FLAIR MRI.
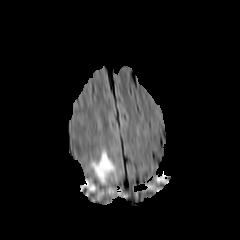
T1-weighted magnetic resonance.
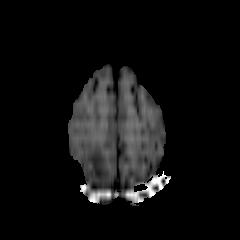
Post-contrast T1-weighted MR.
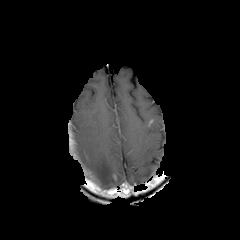
T2-weighted MRI.
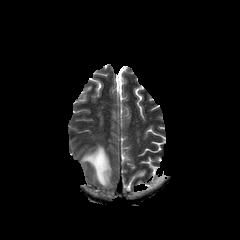
Axial slice, Head
The peritumoral edema lies within box=[90, 148, 115, 185].